FLAIR MR image.
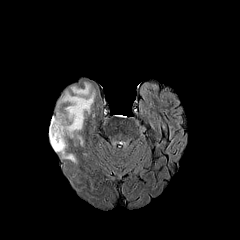
T1-weighted MR.
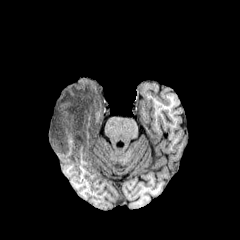
Post-contrast T1-weighted MR image.
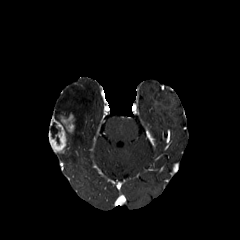
T2-weighted MRI.
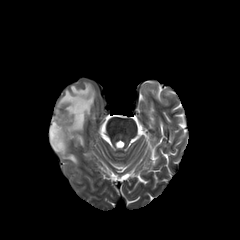
Head; Axial plane
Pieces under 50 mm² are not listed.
{
  "necrotic_tumor_core": [
    "50 123 60 138"
  ],
  "enhancing_tumor": [
    "58 113 74 133",
    "49 116 66 153"
  ],
  "peritumoral_edema": [
    "58 82 94 130",
    "60 153 76 162"
  ]
}